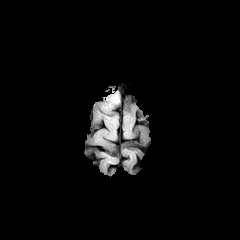
FLAIR MR.
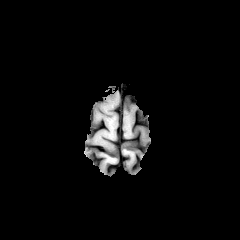
T1-weighted MR image.
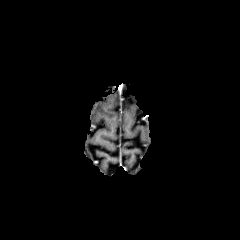
Post-contrast T1-weighted MR image.
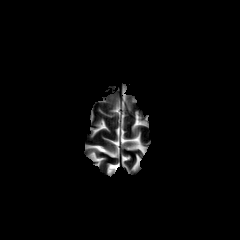
T2-weighted magnetic resonance.
Axial view. 240x240 px.
The peritumoral edema is located at x1=111 y1=94 x2=119 y2=103.